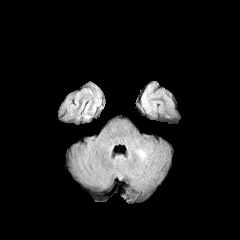
FLAIR MRI.
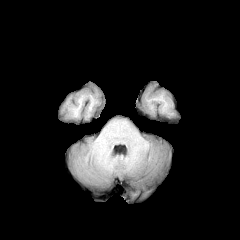
T1-weighted MR.
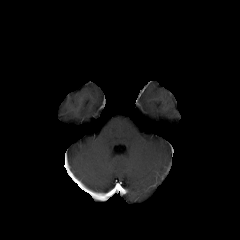
Post-contrast T1-weighted magnetic resonance of the same slice.
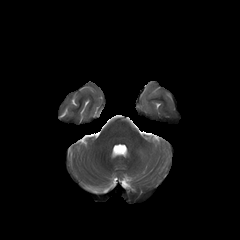
T2-weighted MR.
peritumoral edema = bbox=[140, 84, 152, 114]